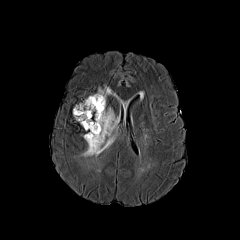
FLAIR magnetic resonance.
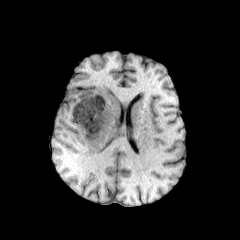
T1-weighted MR.
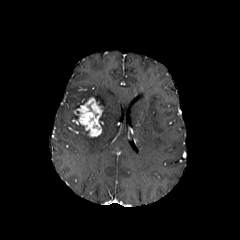
Post-contrast T1-weighted magnetic resonance.
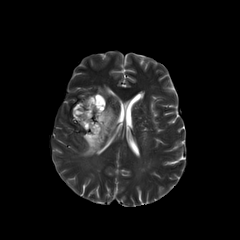
T2-weighted MR.
Image size 240x240, Axial view, Brain
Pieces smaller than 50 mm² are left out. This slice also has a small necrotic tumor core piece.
Segmented structures:
* peritumoral edema: [73, 86, 118, 156]
* enhancing tumor: [73, 97, 103, 137]